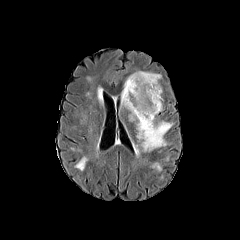
FLAIR magnetic resonance.
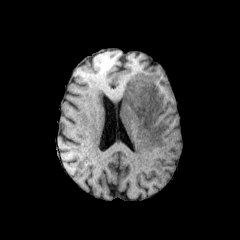
T1-weighted MR.
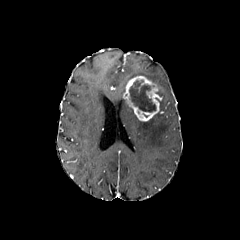
Same slice, post-contrast T1-weighted MR image.
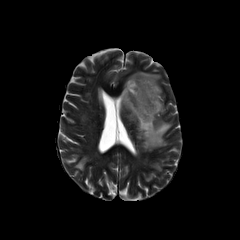
T2-weighted MR.
Head
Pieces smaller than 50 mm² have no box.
The enhancing tumor is located at [122,75,161,121]. The largest peritumoral edema region is located at [121,71,172,151]. The largest necrotic tumor core region is located at [129,81,155,112].